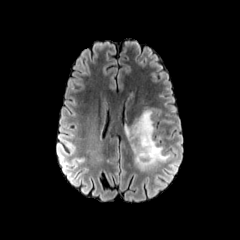
FLAIR MRI.
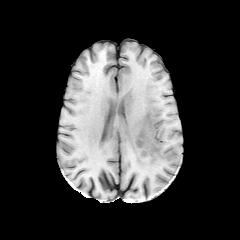
T1-weighted MR.
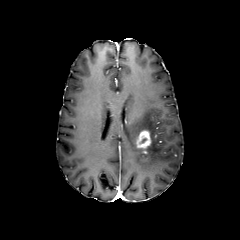
Same slice, post-contrast T1-weighted MRI.
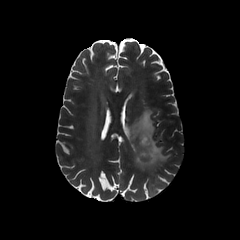
T2-weighted MR image.
Axial slice.
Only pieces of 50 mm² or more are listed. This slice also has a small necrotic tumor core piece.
peritumoral edema at bbox(123, 107, 170, 174)
enhancing tumor at bbox(136, 129, 151, 156)